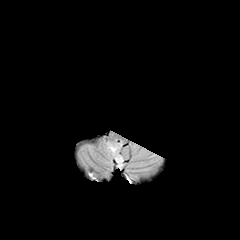
FLAIR MRI.
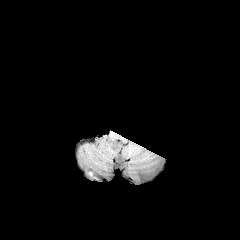
T1-weighted MR.
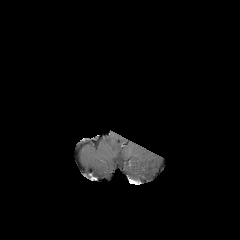
Post-contrast T1-weighted MR image of the same slice.
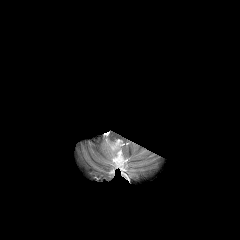
Same slice, T2-weighted MR image.
Axial view | Brain
peritumoral edema: bounding box left=106, top=142, right=123, bottom=168